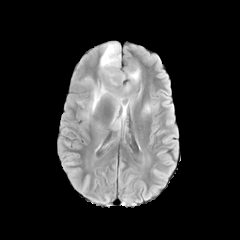
FLAIR MRI.
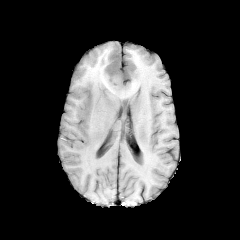
T1-weighted MRI.
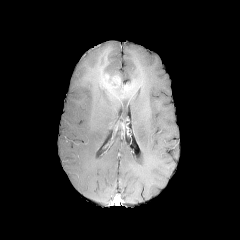
Same slice, post-contrast T1-weighted MR image.
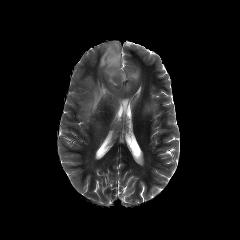
T2-weighted MR.
Head
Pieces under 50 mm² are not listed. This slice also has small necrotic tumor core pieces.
<segmentation>
  <enhancing_tumor>bbox(105, 73, 121, 87)</enhancing_tumor>
  <peritumoral_edema>bbox(109, 118, 121, 131); bbox(83, 42, 140, 118); bbox(142, 101, 158, 118)</peritumoral_edema>
</segmentation>